FLAIR magnetic resonance.
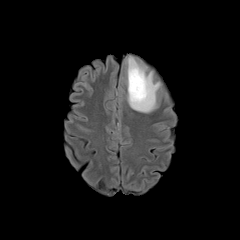
T1-weighted MR.
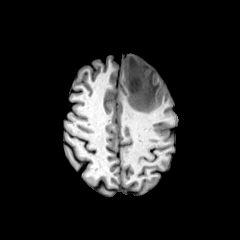
Post-contrast T1-weighted MR.
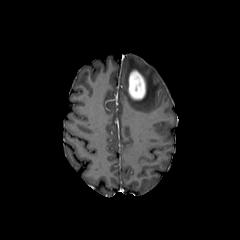
T2-weighted MR image.
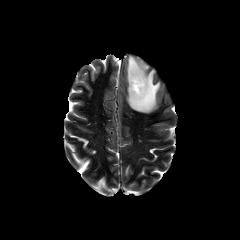
Axial view
enhancing_tumor:
  - {"x1": 128, "y1": 70, "x2": 146, "y2": 100}
peritumoral_edema:
  - {"x1": 126, "y1": 56, "x2": 160, "y2": 112}